FLAIR magnetic resonance.
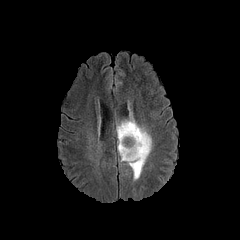
T1-weighted magnetic resonance.
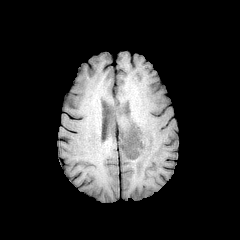
Post-contrast T1-weighted MR image.
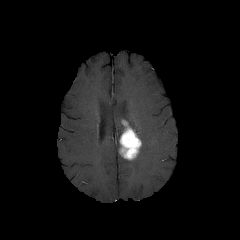
T2-weighted MR image.
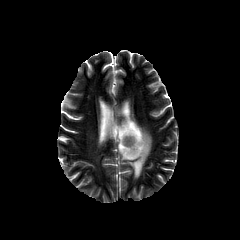
240x240
peritumoral edema — box=[116, 122, 123, 152]; box=[121, 112, 151, 180]
enhancing tumor — box=[119, 120, 141, 160]